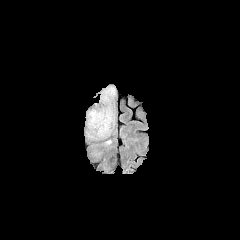
FLAIR MR image.
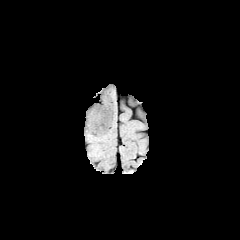
Same slice, T1-weighted MRI.
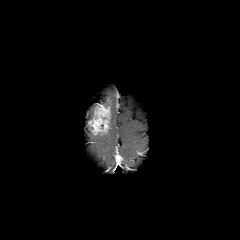
Post-contrast T1-weighted magnetic resonance.
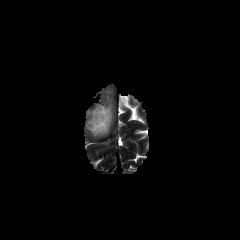
T2-weighted MR.
Axial view
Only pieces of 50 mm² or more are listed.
{"enhancing_tumor": ["87:98:111:136"], "peritumoral_edema": ["85:87:114:136"]}